Axial plane
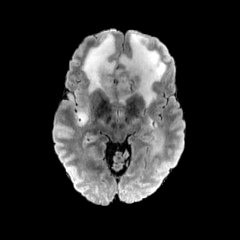
FLAIR magnetic resonance.
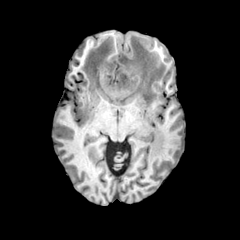
T1-weighted MRI.
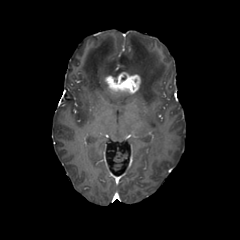
Post-contrast T1-weighted MR of the same slice.
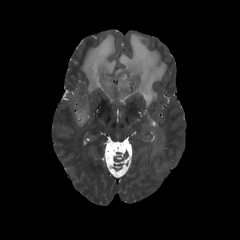
Same slice, T2-weighted MR image.
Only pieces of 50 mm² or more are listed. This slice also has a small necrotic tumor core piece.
{"peritumoral_edema": ["115 32 166 105", "82 33 130 103", "139 118 164 162", "61 90 87 125"], "enhancing_tumor": ["104 72 140 94"]}